FLAIR MR.
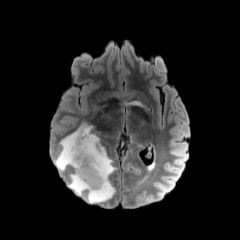
T1-weighted MR.
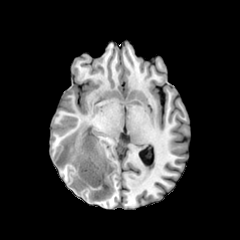
Post-contrast T1-weighted magnetic resonance.
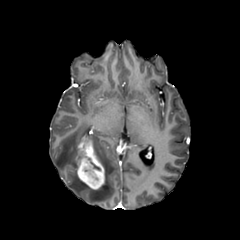
T2-weighted magnetic resonance.
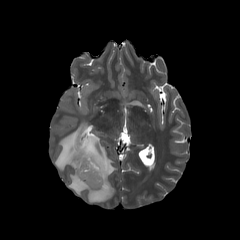
Axial plane
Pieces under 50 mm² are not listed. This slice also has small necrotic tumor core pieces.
Segmented structures:
* peritumoral edema: bbox(54, 122, 116, 203)
* enhancing tumor: bbox(76, 136, 104, 189)